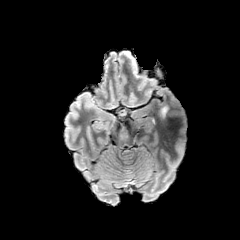
FLAIR MR.
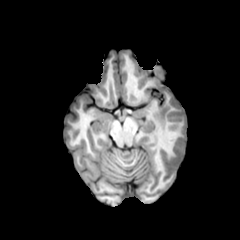
T1-weighted MR image.
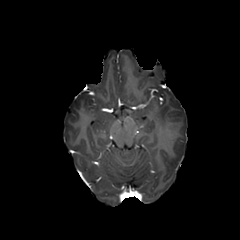
Post-contrast T1-weighted MR of the same slice.
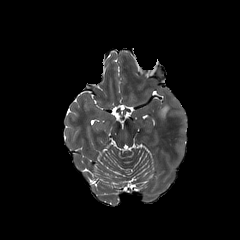
Same slice, T2-weighted MR image.
Image size 240x240; Axial plane; Brain
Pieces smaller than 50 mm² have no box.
peritumoral edema at l=159, t=106, r=168, b=117